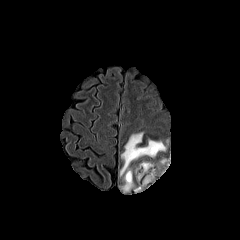
FLAIR MR.
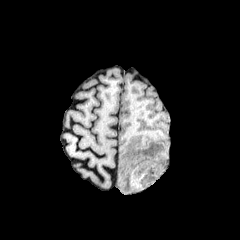
T1-weighted MR image.
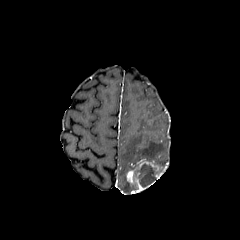
Post-contrast T1-weighted magnetic resonance.
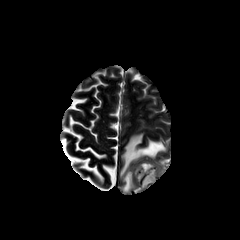
T2-weighted MR image of the same slice.
Axial slice, Head
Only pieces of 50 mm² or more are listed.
The largest peritumoral edema region lies within l=119, t=132, r=166, b=192. The necrotic tumor core is bounded by l=137, t=164, r=155, b=187. The largest enhancing tumor region is bounded by l=126, t=159, r=164, b=191.